FLAIR MR.
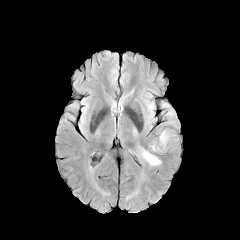
T1-weighted MR.
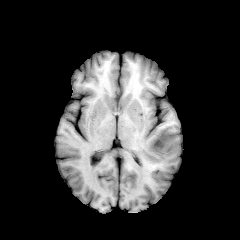
Post-contrast T1-weighted MRI.
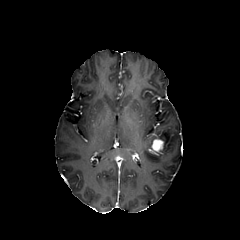
T2-weighted MRI.
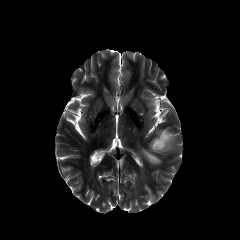
Axial view, Image size 240x240, Head
peritumoral edema at 141, 148, 160, 164; 159, 130, 171, 149
enhancing tumor at 151, 138, 163, 151